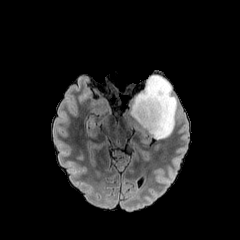
FLAIR MR image.
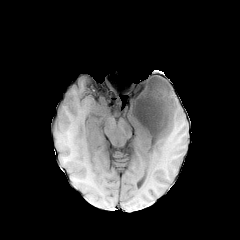
T1-weighted MR of the same slice.
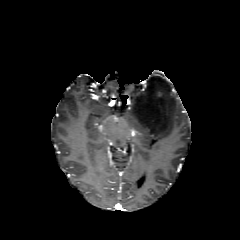
Same slice, post-contrast T1-weighted MR.
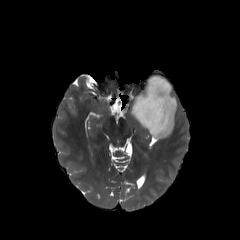
T2-weighted MR image.
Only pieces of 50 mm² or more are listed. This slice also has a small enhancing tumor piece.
Segmented structures:
- peritumoral edema: <bbox>124, 75, 177, 139</bbox>